FLAIR MR image.
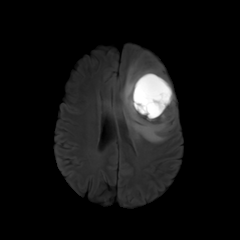
T1-weighted MRI.
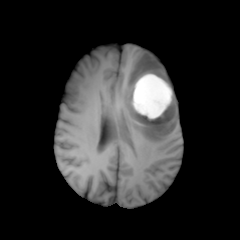
Post-contrast T1-weighted MR.
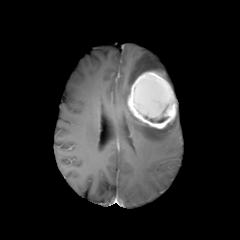
T2-weighted MR.
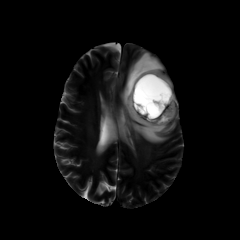
Axial plane
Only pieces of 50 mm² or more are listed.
<segmentation>
  <peritumoral_edema><box>120,52,176,143</box></peritumoral_edema>
  <necrotic_tumor_core><box>145,116,168,123</box></necrotic_tumor_core>
  <enhancing_tumor><box>127,71,176,128</box></enhancing_tumor>
</segmentation>